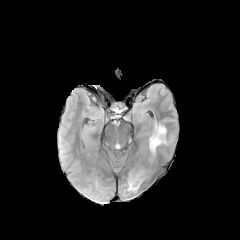
FLAIR MRI.
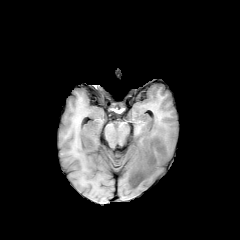
T1-weighted MR.
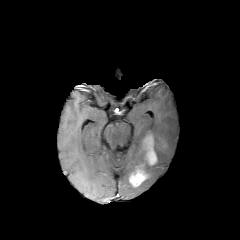
Same slice, post-contrast T1-weighted magnetic resonance.
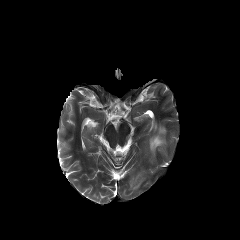
Same slice, T2-weighted MRI.
<segmentation>
  <peritumoral_edema><box>150,124,166,152</box>, <box>128,181,138,191</box></peritumoral_edema>
  <enhancing_tumor><box>147,137,156,163</box>, <box>129,170,146,186</box></enhancing_tumor>
</segmentation>